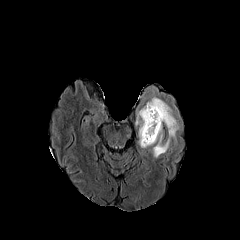
FLAIR MRI.
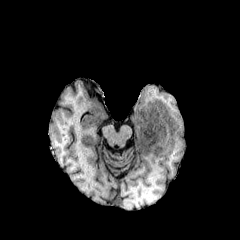
T1-weighted MR image.
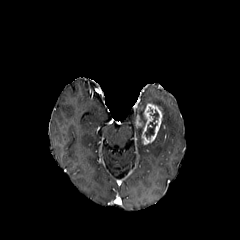
Same slice, post-contrast T1-weighted MRI.
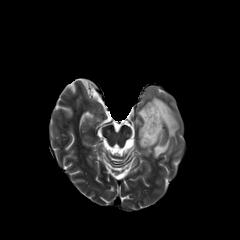
Same slice, T2-weighted MR image.
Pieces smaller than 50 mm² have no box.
<segmentation>
  <enhancing_tumor>136, 104, 162, 144</enhancing_tumor>
  <necrotic_tumor_core>145, 109, 158, 138</necrotic_tumor_core>
  <peritumoral_edema>138, 87, 179, 158</peritumoral_edema>
</segmentation>